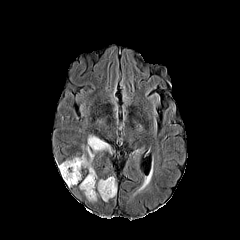
FLAIR MR.
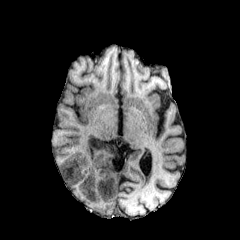
T1-weighted MR image.
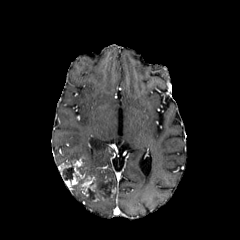
Post-contrast T1-weighted MR.
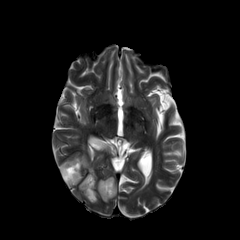
T2-weighted magnetic resonance.
Brain, 240x240 px
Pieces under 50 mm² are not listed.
peritumoral edema = bbox(82, 134, 112, 178); bbox(99, 177, 117, 201)
necrotic tumor core = bbox(87, 179, 113, 198); bbox(63, 166, 73, 180)
enhancing tumor = bbox(79, 174, 96, 196); bbox(58, 156, 84, 187)